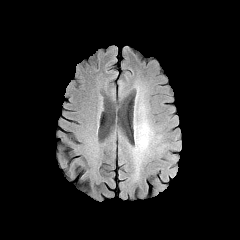
FLAIR magnetic resonance.
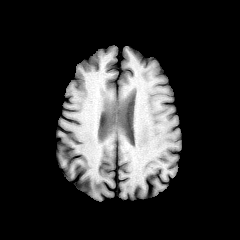
Same slice, T1-weighted magnetic resonance.
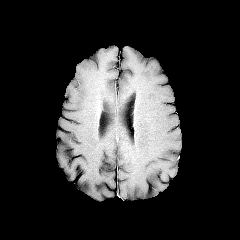
Same slice, post-contrast T1-weighted MRI.
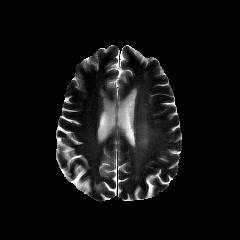
T2-weighted MR image.
Axial view
peritumoral edema = l=135, t=119, r=152, b=152